FLAIR MRI.
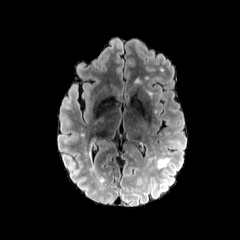
T1-weighted MRI.
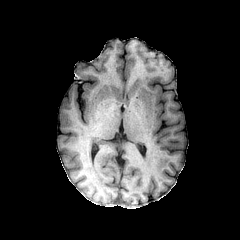
Post-contrast T1-weighted MR.
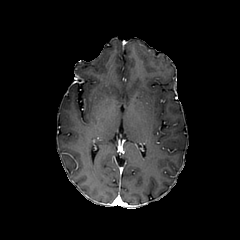
T2-weighted MR image.
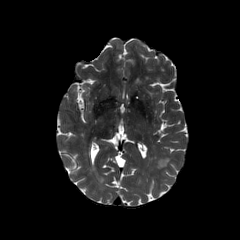
Brain.
Findings:
* peritumoral edema: 158,158,169,167